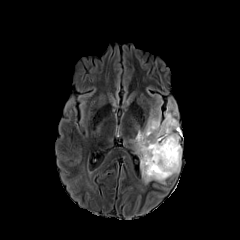
FLAIR magnetic resonance.
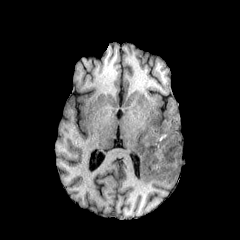
Same slice, T1-weighted MR.
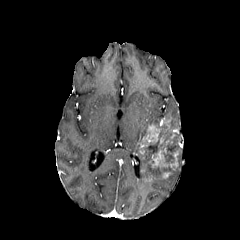
Post-contrast T1-weighted MRI.
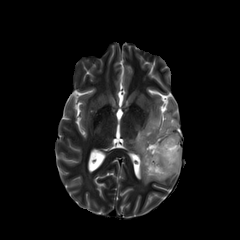
T2-weighted magnetic resonance.
Image size 240x240, Axial slice
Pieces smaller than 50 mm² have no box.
necrotic tumor core: [142, 122, 180, 178]
peritumoral edema: [169, 154, 180, 176], [131, 111, 160, 166], [164, 104, 178, 127]
enhancing tumor: [137, 124, 161, 154], [149, 146, 178, 169], [163, 116, 178, 138]